FLAIR MR.
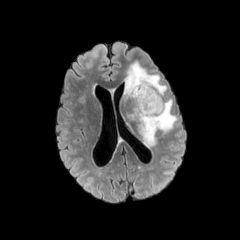
T1-weighted magnetic resonance.
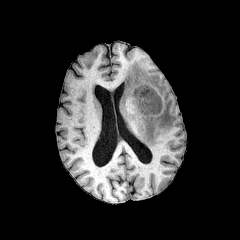
Post-contrast T1-weighted magnetic resonance.
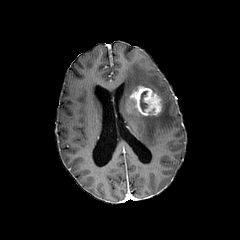
T2-weighted MR.
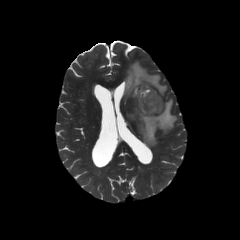
Axial view; 240x240
<segmentation>
  <peritumoral_edema>rect(124, 61, 166, 98); rect(129, 99, 177, 146)</peritumoral_edema>
  <necrotic_tumor_core>rect(140, 91, 147, 111)</necrotic_tumor_core>
  <enhancing_tumor>rect(130, 85, 162, 115)</enhancing_tumor>
</segmentation>